FLAIR magnetic resonance.
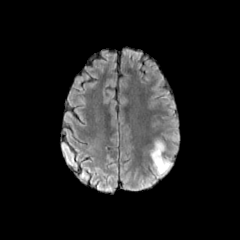
T1-weighted MR.
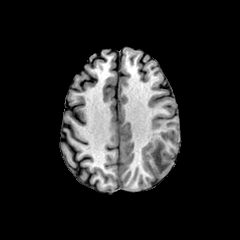
Post-contrast T1-weighted MR image.
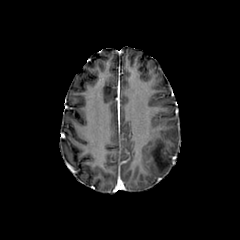
T2-weighted magnetic resonance.
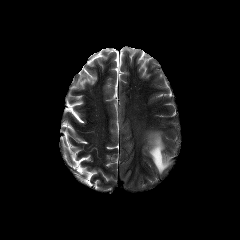
Head. Image size 240x240.
The peritumoral edema appears at [x1=150, y1=139, x2=171, y2=174].